Image width 240 mm. 240x240. Slice 95 of 155.
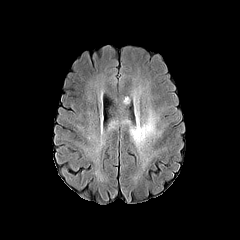
FLAIR MR.
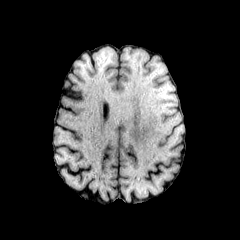
T1-weighted MR of the same slice.
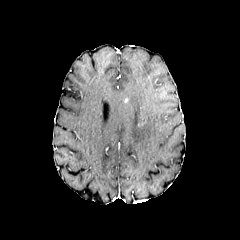
Post-contrast T1-weighted MRI.
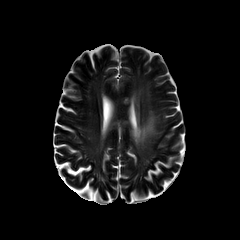
T2-weighted MR image.
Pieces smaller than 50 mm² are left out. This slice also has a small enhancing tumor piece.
- peritumoral edema: box(130, 95, 161, 150)